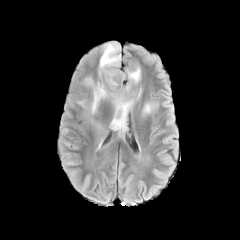
FLAIR magnetic resonance.
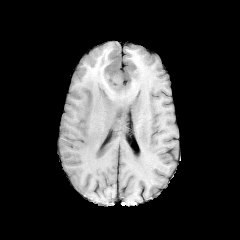
Same slice, T1-weighted MR.
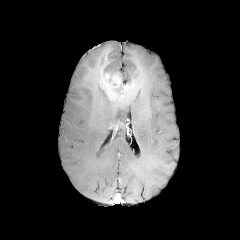
Same slice, post-contrast T1-weighted magnetic resonance.
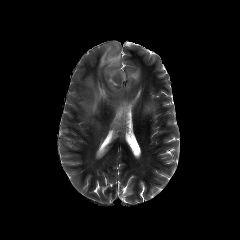
Same slice, T2-weighted MRI.
Brain | 240x240
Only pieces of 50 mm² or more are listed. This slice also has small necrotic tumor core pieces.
Segmented structures:
* enhancing tumor: <box>104,72,122,89</box>
* peritumoral edema: <box>91,116,105,136</box>, <box>140,99,159,117</box>, <box>80,42,146,141</box>, <box>75,98,85,109</box>